FLAIR MR image.
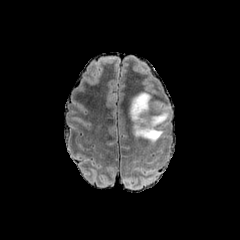
T1-weighted MRI.
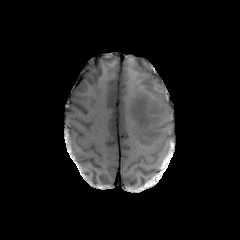
Post-contrast T1-weighted MR.
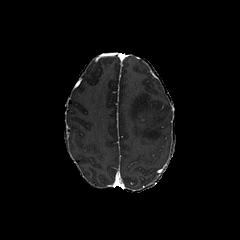
T2-weighted magnetic resonance.
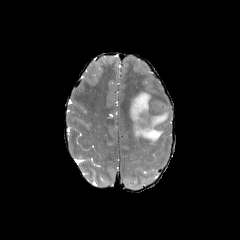
Axial plane; Brain; Image size 240x240
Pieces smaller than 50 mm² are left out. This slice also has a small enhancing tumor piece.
Segmented structures:
• peritumoral edema: bbox(130, 92, 167, 143)